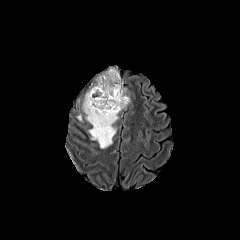
FLAIR magnetic resonance.
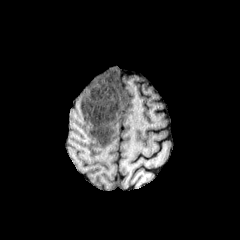
T1-weighted MR image.
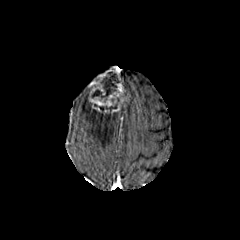
Same slice, post-contrast T1-weighted magnetic resonance.
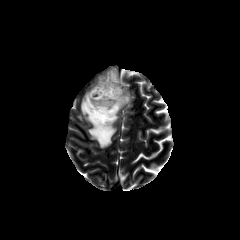
T2-weighted MR image.
Image size 240x240, Head
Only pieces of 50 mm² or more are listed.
necrotic tumor core at (91, 71, 121, 98), (94, 97, 119, 116)
peritumoral edema at (83, 92, 118, 148)
enhancing tumor at (88, 67, 129, 114)